FLAIR MR image.
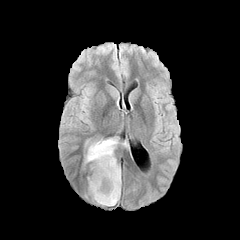
T1-weighted MR image.
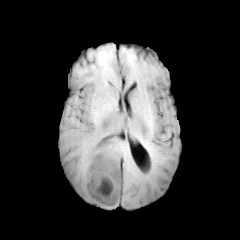
Post-contrast T1-weighted MR.
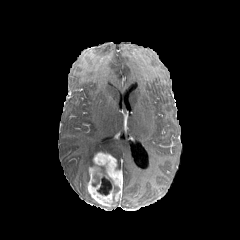
T2-weighted MR.
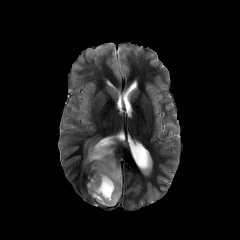
Brain; Image size 240x240; Axial plane
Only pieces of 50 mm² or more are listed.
peritumoral edema = [x1=85, y1=138, x2=117, y2=162]
necrotic tumor core = [x1=97, y1=176, x2=112, y2=195], [x1=92, y1=174, x2=99, y2=186]
enhancing tumor = [x1=87, y1=152, x2=122, y2=206]